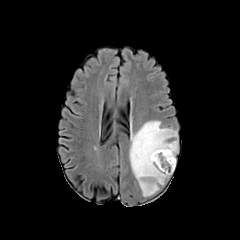
FLAIR magnetic resonance.
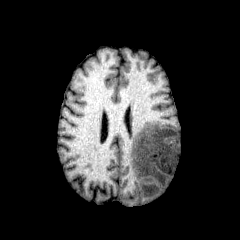
T1-weighted MRI.
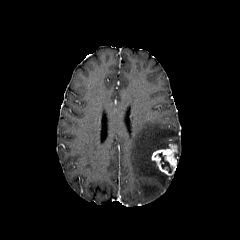
Post-contrast T1-weighted MRI.
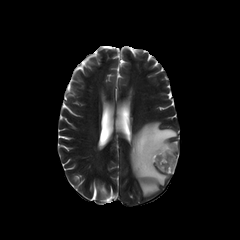
T2-weighted MR image of the same slice.
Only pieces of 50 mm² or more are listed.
enhancing tumor: 151 144 177 175 | peritumoral edema: 129 121 178 196 | necrotic tumor core: 158 153 172 172